Head, Image size 240x240
FLAIR MR.
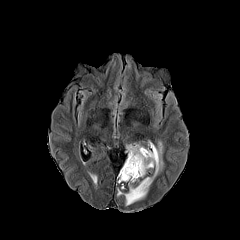
T1-weighted magnetic resonance.
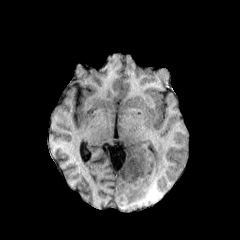
Post-contrast T1-weighted MR image.
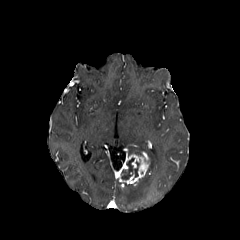
T2-weighted magnetic resonance.
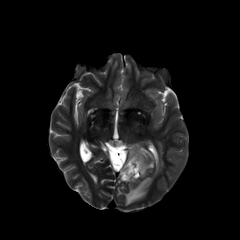
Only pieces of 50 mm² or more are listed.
necrotic tumor core — (x1=121, y1=158, x2=139, y2=179)
peritumoral edema — (x1=117, y1=142, x2=162, y2=205)
enhancing tumor — (x1=117, y1=151, x2=150, y2=187)